Axial plane | Head
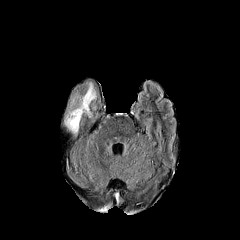
FLAIR MRI.
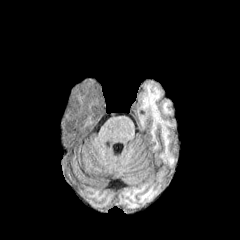
T1-weighted magnetic resonance of the same slice.
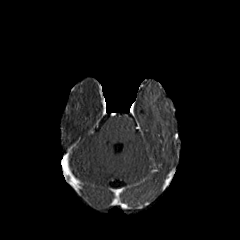
Same slice, post-contrast T1-weighted MR image.
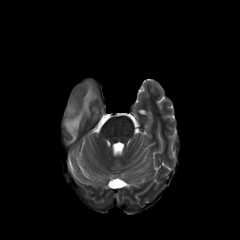
T2-weighted MR.
peritumoral edema: bounding box bbox(64, 82, 96, 135)